FLAIR MRI.
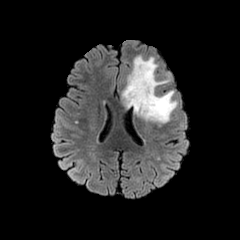
T1-weighted MR.
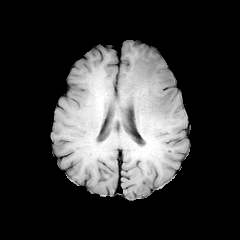
Post-contrast T1-weighted MR image.
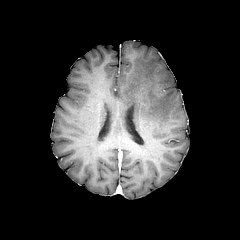
T2-weighted MRI.
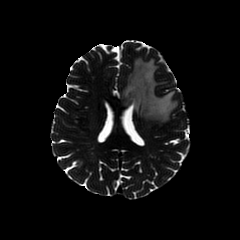
Brain
- peritumoral edema: {"x1": 122, "y1": 56, "x2": 177, "y2": 123}